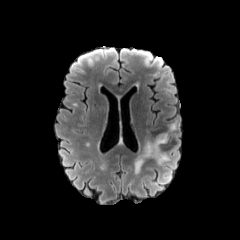
FLAIR magnetic resonance.
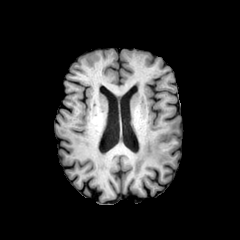
T1-weighted MRI of the same slice.
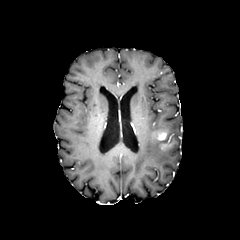
Post-contrast T1-weighted magnetic resonance.
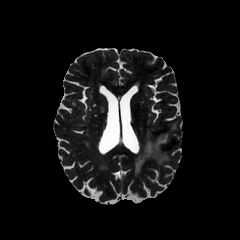
T2-weighted MR image.
enhancing tumor: bounding box bbox=[157, 132, 167, 141]
peritumoral edema: bounding box bbox=[134, 121, 177, 174]